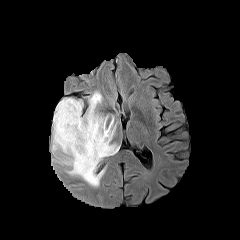
FLAIR MRI.
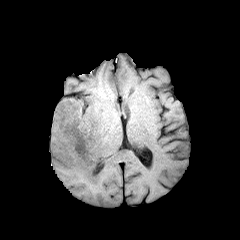
T1-weighted MRI.
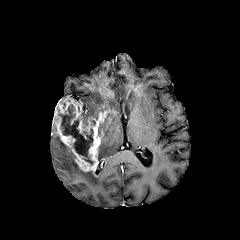
Same slice, post-contrast T1-weighted MR.
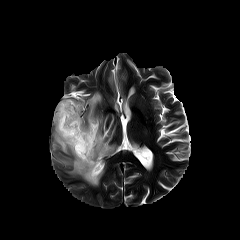
T2-weighted magnetic resonance of the same slice.
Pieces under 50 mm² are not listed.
necrotic tumor core: <bbox>58, 104, 93, 164</bbox> | peritumoral edema: <bbox>98, 115, 119, 162</bbox>, <bbox>82, 91, 101, 126</bbox>, <bbox>52, 125, 104, 186</bbox> | enhancing tumor: <bbox>53, 97, 105, 174</bbox>